Image width 240 mm
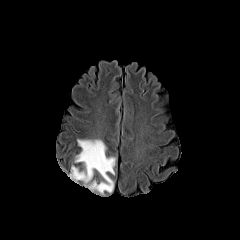
FLAIR MRI.
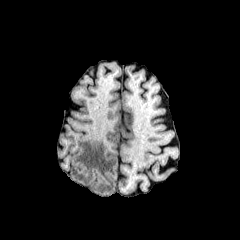
T1-weighted magnetic resonance of the same slice.
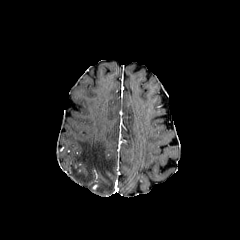
Post-contrast T1-weighted MR image.
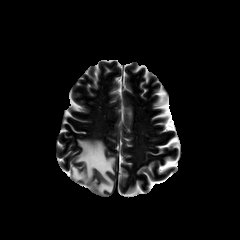
T2-weighted MRI of the same slice.
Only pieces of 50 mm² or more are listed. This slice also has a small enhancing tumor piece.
{"peritumoral_edema": ["bbox=[70, 139, 115, 194]"]}